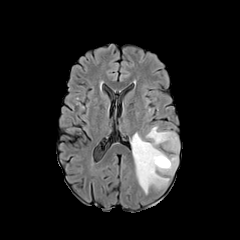
FLAIR magnetic resonance.
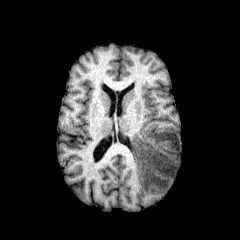
T1-weighted magnetic resonance.
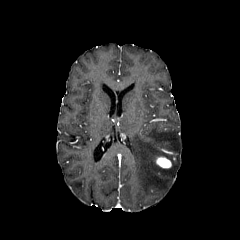
Post-contrast T1-weighted MRI.
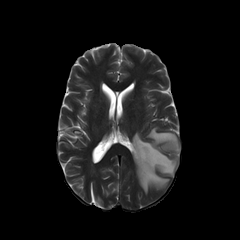
T2-weighted MRI of the same slice.
Axial slice. Head.
peritumoral edema — [x1=131, y1=126, x2=179, y2=193]
enhancing tumor — [x1=156, y1=156, x2=171, y2=168]